FLAIR MRI.
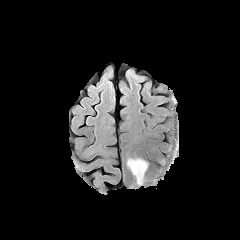
T1-weighted magnetic resonance.
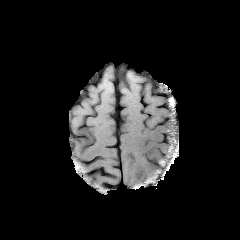
Post-contrast T1-weighted MRI.
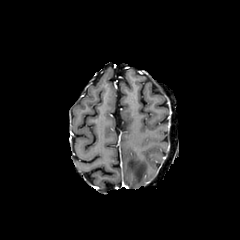
T2-weighted magnetic resonance.
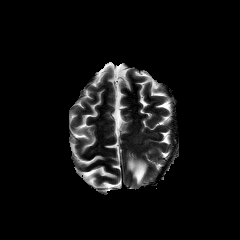
Image size 240x240, Head
{"peritumoral_edema": ["left=127, top=158, right=147, bottom=185"]}